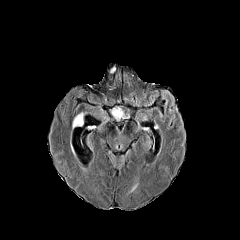
FLAIR magnetic resonance.
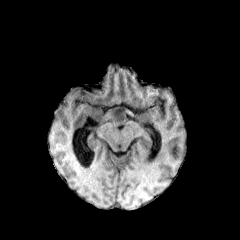
Same slice, T1-weighted MR.
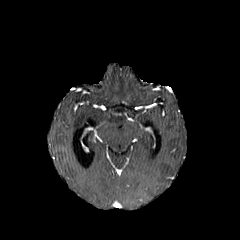
Post-contrast T1-weighted MRI.
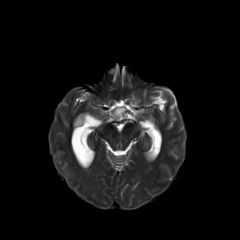
T2-weighted magnetic resonance of the same slice.
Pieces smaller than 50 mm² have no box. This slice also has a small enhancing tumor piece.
* peritumoral edema: <bbox>111, 108, 124, 119</bbox>, <bbox>73, 113, 83, 127</bbox>